FLAIR MR image.
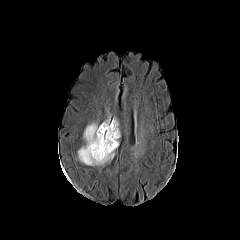
T1-weighted MR image.
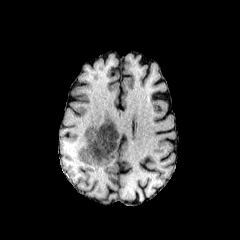
Post-contrast T1-weighted MR image.
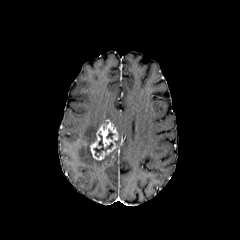
T2-weighted MR image.
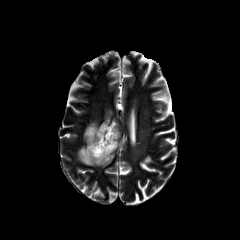
Axial view.
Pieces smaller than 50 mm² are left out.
The 2 largest peritumoral edema regions are located at left=75, top=123, right=115, bottom=168; left=112, top=117, right=119, bottom=137. The largest necrotic tumor core region is located at left=94, top=134, right=112, bottom=157. The largest enhancing tumor region is located at left=90, top=120, right=118, bottom=160.